FLAIR MR.
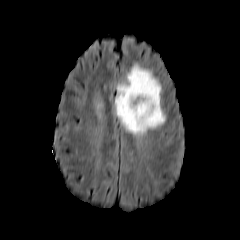
T1-weighted MR image.
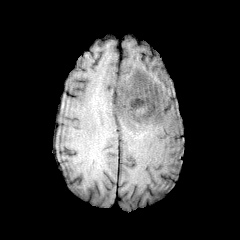
Post-contrast T1-weighted MRI.
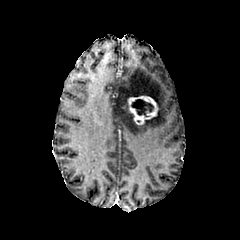
T2-weighted magnetic resonance.
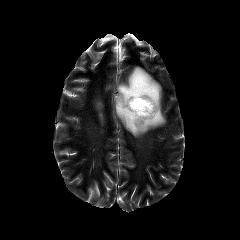
Brain
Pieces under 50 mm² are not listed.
peritumoral edema = l=114, t=65, r=165, b=135
enhancing tumor = l=128, t=96, r=158, b=124
necrotic tumor core = l=131, t=99, r=153, b=116